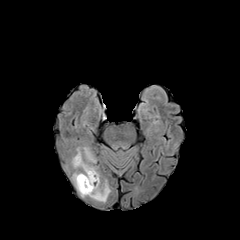
FLAIR magnetic resonance.
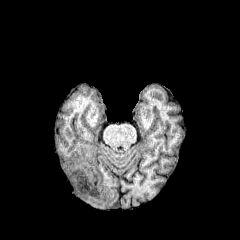
T1-weighted MRI.
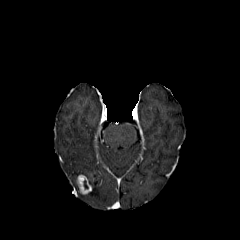
Same slice, post-contrast T1-weighted magnetic resonance.
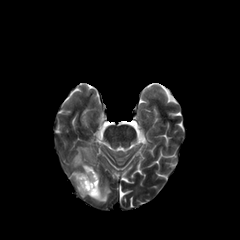
T2-weighted MR.
240x240 px | Head
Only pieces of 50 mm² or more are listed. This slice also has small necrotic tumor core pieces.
enhancing_tumor:
  - (x1=76, y1=174, x2=92, y2=194)
peritumoral_edema:
  - (x1=73, y1=173, x2=82, y2=191)
  - (x1=72, y1=147, x2=110, y2=202)